FLAIR magnetic resonance.
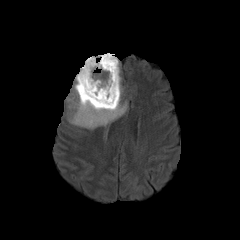
T1-weighted MRI.
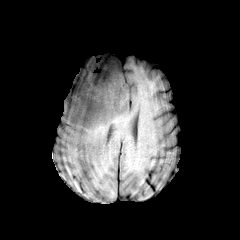
Post-contrast T1-weighted MR.
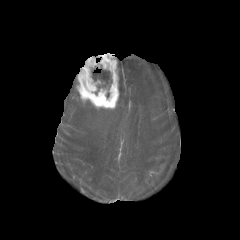
T2-weighted magnetic resonance.
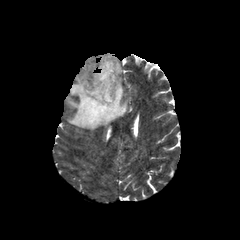
Axial plane. Head.
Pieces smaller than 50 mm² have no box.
Findings:
• necrotic tumor core: <bbox>92, 69, 112, 94</bbox>
• peritumoral edema: <bbox>66, 57, 127, 130</bbox>
• enhancing tumor: <bbox>76, 53, 119, 108</bbox>